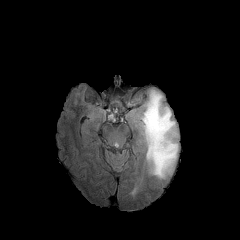
FLAIR MRI.
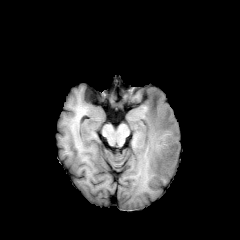
Same slice, T1-weighted MR image.
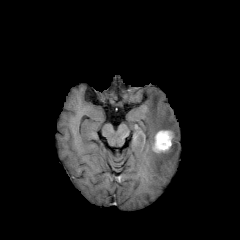
Post-contrast T1-weighted MR of the same slice.
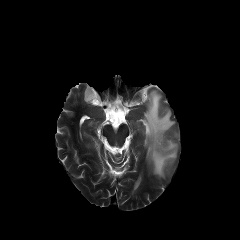
Same slice, T2-weighted MRI.
Axial view; Brain
enhancing tumor: l=152, t=130, r=173, b=152 | peritumoral edema: l=140, t=89, r=178, b=178